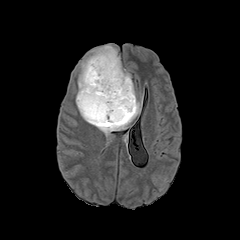
FLAIR MR.
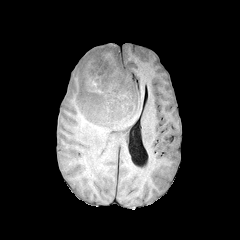
T1-weighted MRI.
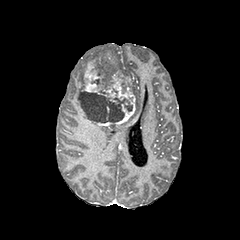
Same slice, post-contrast T1-weighted MR image.
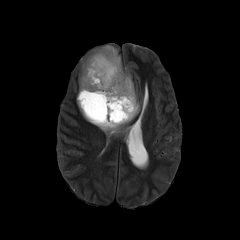
T2-weighted MRI of the same slice.
Brain
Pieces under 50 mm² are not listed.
peritumoral edema: (76, 44, 141, 135) | enhancing tumor: (107, 54, 119, 70), (84, 58, 135, 125) | necrotic tumor core: (78, 90, 124, 122), (122, 102, 132, 111)